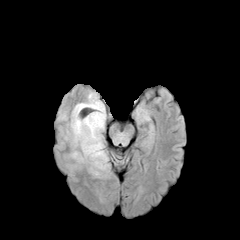
FLAIR MR image.
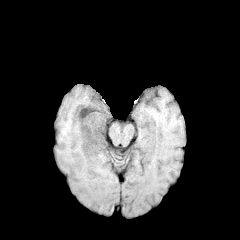
T1-weighted magnetic resonance of the same slice.
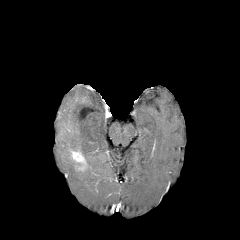
Post-contrast T1-weighted MR image of the same slice.
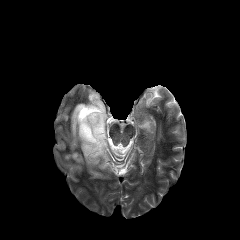
T2-weighted MR.
Axial slice
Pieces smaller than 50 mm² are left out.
peritumoral edema: {"x1": 70, "y1": 92, "x2": 110, "y2": 176}
enhancing tumor: {"x1": 71, "y1": 151, "x2": 86, "y2": 169}